240x240; Axial plane
FLAIR MR image.
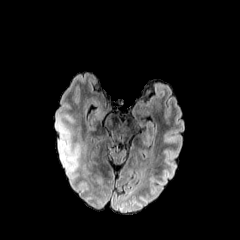
T1-weighted MR.
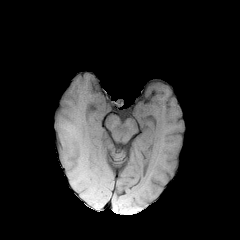
Post-contrast T1-weighted MR.
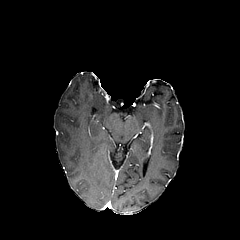
T2-weighted magnetic resonance.
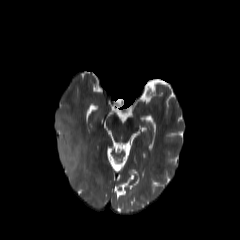
Segmented structures:
• peritumoral edema: left=56, top=115, right=82, bottom=179